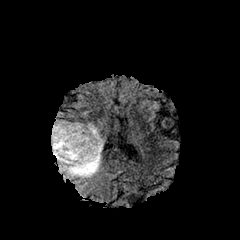
FLAIR magnetic resonance.
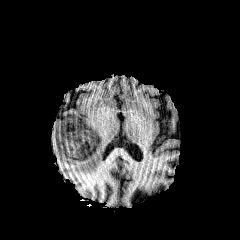
Same slice, T1-weighted MRI.
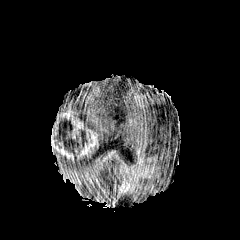
Post-contrast T1-weighted MRI of the same slice.
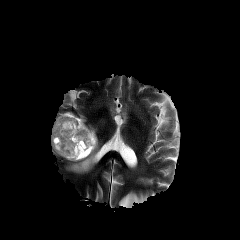
Same slice, T2-weighted MRI.
Axial view
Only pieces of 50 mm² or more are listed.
peritumoral_edema:
  - [52,123,103,177]
necrotic_tumor_core:
  - [54,120,80,160]
enhancing_tumor:
  - [51,112,98,161]